Image size 240x240
FLAIR MRI.
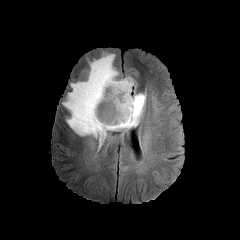
T1-weighted MR.
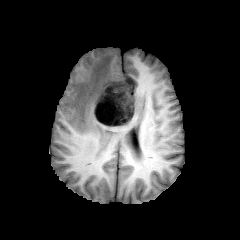
Post-contrast T1-weighted MR image.
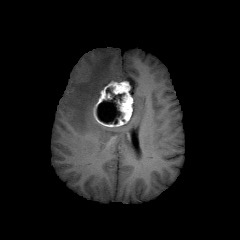
T2-weighted magnetic resonance.
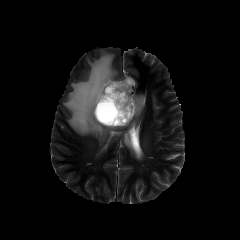
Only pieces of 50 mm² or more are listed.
Findings:
- peritumoral edema: x1=62 y1=52 x2=145 y2=146
- necrotic tumor core: x1=96 y1=87 x2=124 y2=124
- enhancing tumor: x1=93 y1=81 x2=133 y2=127